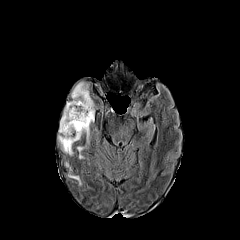
FLAIR magnetic resonance.
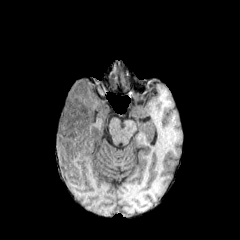
Same slice, T1-weighted MR.
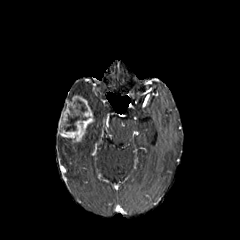
Same slice, post-contrast T1-weighted MR image.
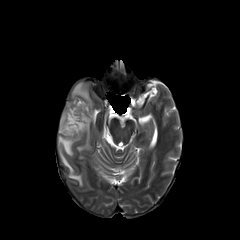
T2-weighted MRI.
Axial slice. 240x240 px. Brain.
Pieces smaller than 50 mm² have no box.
{
  "necrotic_tumor_core": [
    "x1=64 y1=100 x2=87 y2=131"
  ],
  "peritumoral_edema": [
    "x1=63 y1=157 x2=72 y2=170",
    "x1=69 y1=175 x2=81 y2=185",
    "x1=71 y1=82 x2=94 y2=120",
    "x1=77 y1=124 x2=89 y2=151",
    "x1=58 y1=135 x2=73 y2=155"
  ],
  "enhancing_tumor": [
    "x1=58 y1=95 x2=93 y2=142"
  ]
}